Axial view | Image width 240 mm | Slice index 127
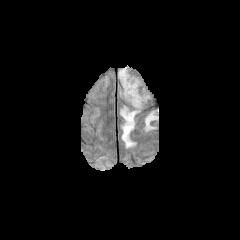
FLAIR MR image.
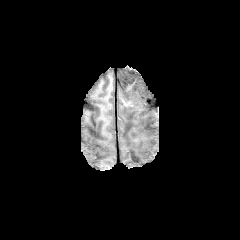
T1-weighted MRI.
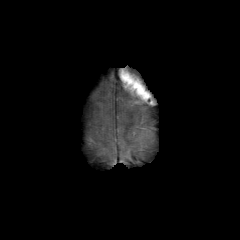
Post-contrast T1-weighted MR.
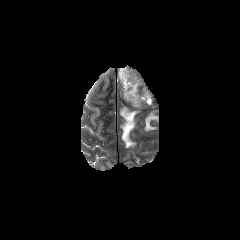
T2-weighted magnetic resonance of the same slice.
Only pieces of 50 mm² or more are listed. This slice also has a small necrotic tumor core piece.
Findings:
• enhancing tumor: 116 68 157 106
• peritumoral edema: 146 110 158 130, 123 89 151 108, 121 110 135 147